Image size 240x240
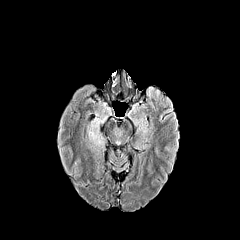
FLAIR MR image.
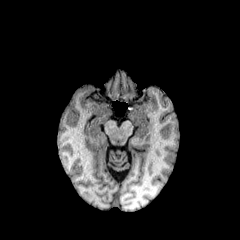
T1-weighted MR of the same slice.
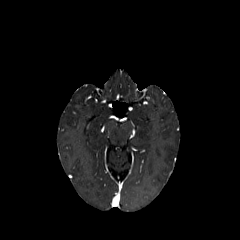
Same slice, post-contrast T1-weighted magnetic resonance.
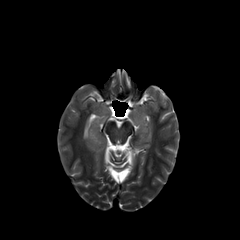
Same slice, T2-weighted MR.
peritumoral edema: 89, 125, 104, 146